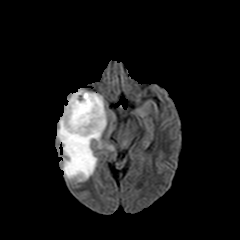
FLAIR MR.
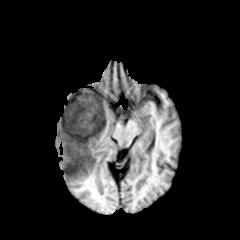
T1-weighted MRI.
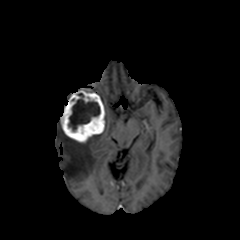
Same slice, post-contrast T1-weighted magnetic resonance.
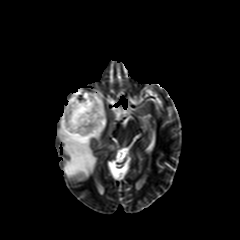
T2-weighted magnetic resonance.
Head | Axial plane
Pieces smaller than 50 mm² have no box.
necrotic tumor core: box(68, 93, 100, 131) | peritumoral edema: box(57, 121, 101, 181) | enhancing tumor: box(60, 89, 105, 142)